FLAIR MRI.
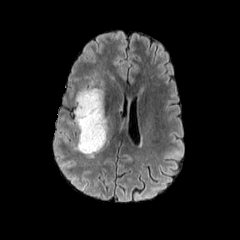
T1-weighted MRI.
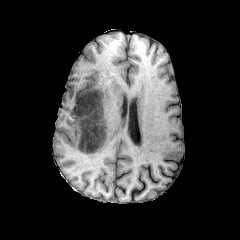
Post-contrast T1-weighted MRI.
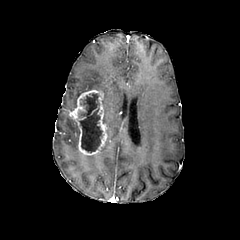
T2-weighted MR.
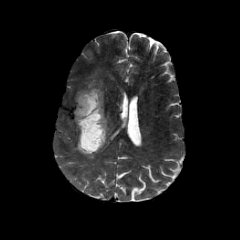
Head.
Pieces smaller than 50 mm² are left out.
{"enhancing_tumor": ["72, 89, 107, 155"], "peritumoral_edema": ["103, 100, 113, 140", "75, 81, 104, 105"], "necrotic_tumor_core": ["79, 93, 104, 152"]}